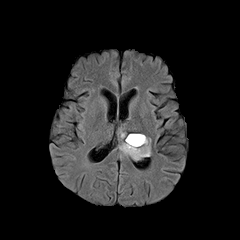
FLAIR MR.
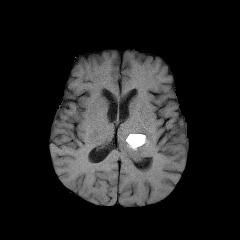
T1-weighted MR image of the same slice.
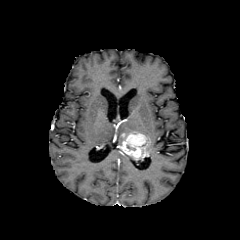
Same slice, post-contrast T1-weighted MR.
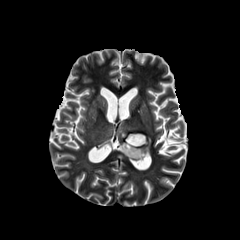
T2-weighted magnetic resonance of the same slice.
Axial plane. Head.
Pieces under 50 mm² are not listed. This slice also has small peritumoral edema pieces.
The largest enhancing tumor region is located at 119, 137, 150, 160.